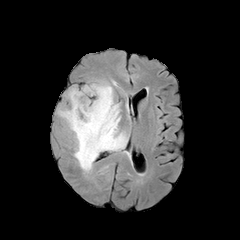
FLAIR MR image.
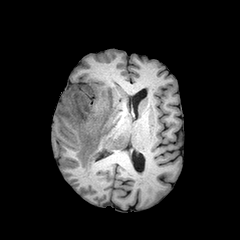
Same slice, T1-weighted MR image.
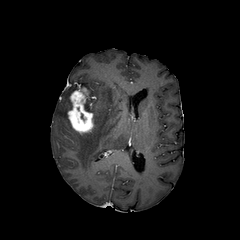
Same slice, post-contrast T1-weighted MR.
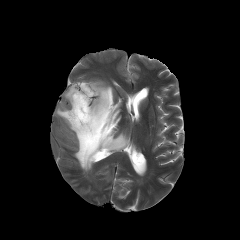
T2-weighted MR image.
Head, 240x240
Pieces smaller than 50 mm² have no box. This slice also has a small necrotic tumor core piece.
{
  "peritumoral_edema": [
    "(56,81,127,172)"
  ],
  "enhancing_tumor": [
    "(67,87,93,133)"
  ]
}